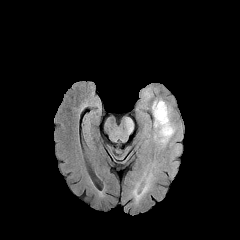
FLAIR MRI.
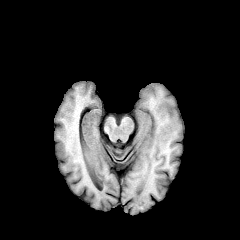
T1-weighted MRI.
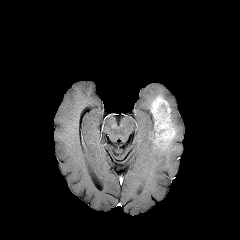
Same slice, post-contrast T1-weighted MRI.
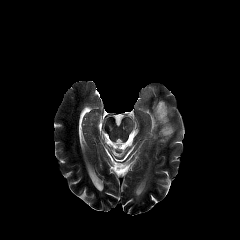
Same slice, T2-weighted magnetic resonance.
Head | 240x240 px
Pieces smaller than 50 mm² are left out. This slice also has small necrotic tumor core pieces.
Findings:
- peritumoral edema: 150:102:176:149
- enhancing tumor: 151:97:174:142